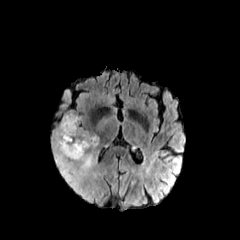
FLAIR MR image.
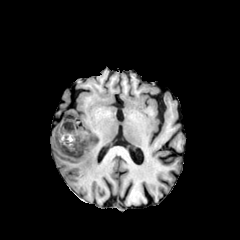
Same slice, T1-weighted magnetic resonance.
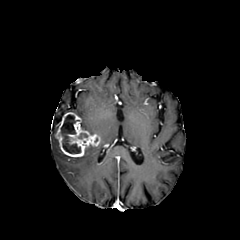
Same slice, post-contrast T1-weighted magnetic resonance.
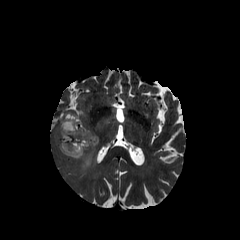
Same slice, T2-weighted MR.
Image size 240x240. Axial slice.
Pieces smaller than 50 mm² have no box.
The largest necrotic tumor core region is located at bbox(61, 114, 80, 153). The enhancing tumor is located at bbox(55, 112, 99, 157). The 2 largest peritumoral edema regions are bounded by bbox(97, 117, 107, 129); bbox(50, 122, 99, 203).